FLAIR MR image.
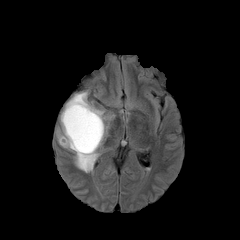
T1-weighted MR image.
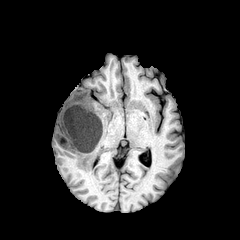
Post-contrast T1-weighted MR image.
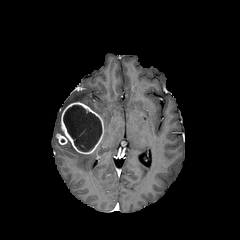
T2-weighted magnetic resonance.
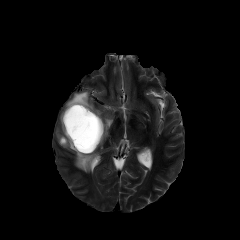
Head. Axial view.
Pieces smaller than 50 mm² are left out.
peritumoral edema — (left=65, top=91, right=109, bottom=147), (left=62, top=143, right=98, bottom=172)
necrotic tumor core — (left=63, top=105, right=101, bottom=151)
enhancing tumor — (left=56, top=101, right=104, bottom=154)